FLAIR MR.
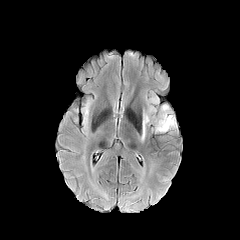
T1-weighted magnetic resonance.
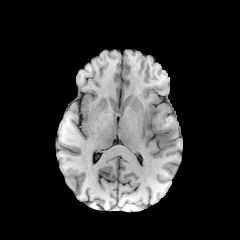
Post-contrast T1-weighted MR.
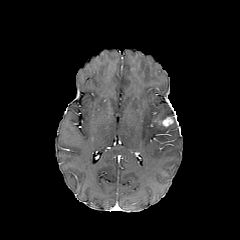
T2-weighted MRI.
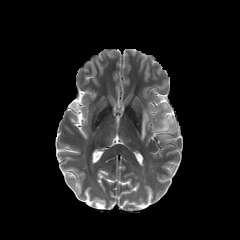
240x240 | Axial view | Brain
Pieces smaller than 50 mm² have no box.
The enhancing tumor is located at region(159, 117, 173, 126). The 2 largest peritumoral edema regions are located at region(155, 105, 176, 132); region(141, 112, 149, 140).